Slice 93/155
FLAIR MR image.
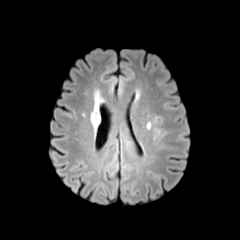
T1-weighted MR.
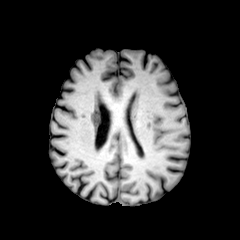
Post-contrast T1-weighted MR image.
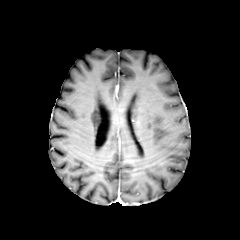
T2-weighted MR image.
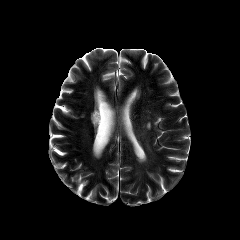
peritumoral edema: bounding box [90, 104, 100, 128]